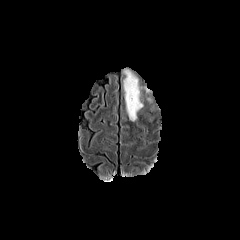
FLAIR MR image.
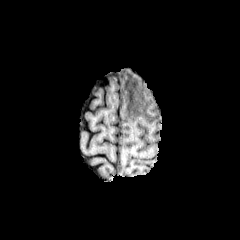
Same slice, T1-weighted MR.
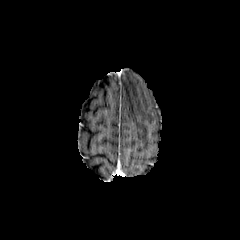
Same slice, post-contrast T1-weighted magnetic resonance.
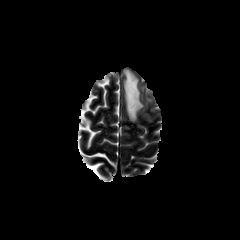
T2-weighted MR of the same slice.
Axial slice. Brain.
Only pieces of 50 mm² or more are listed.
The largest peritumoral edema region is bounded by left=124, top=70, right=142, bottom=121.